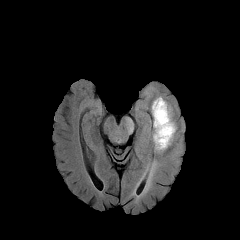
FLAIR magnetic resonance.
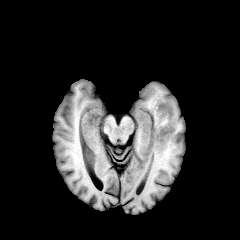
Same slice, T1-weighted magnetic resonance.
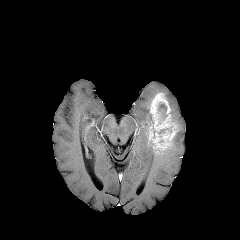
Post-contrast T1-weighted MRI of the same slice.
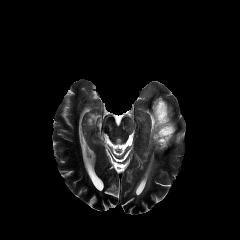
T2-weighted MR.
240x240
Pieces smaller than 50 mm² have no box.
Segmented structures:
* necrotic tumor core: region(157, 103, 167, 123)
* enhancing tumor: region(148, 93, 176, 151)
* peritumoral edema: region(127, 120, 132, 130); region(144, 108, 177, 189)